240x240, Axial slice, Image width 240 mm, 1.00 mm slice spacing
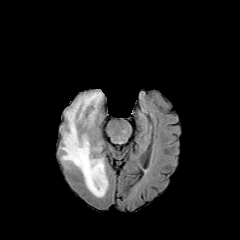
FLAIR MRI.
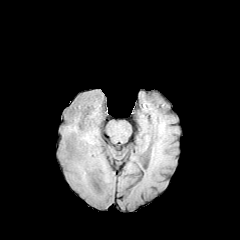
Same slice, T1-weighted magnetic resonance.
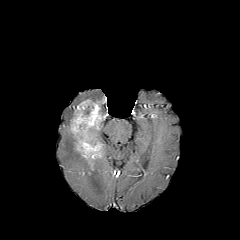
Post-contrast T1-weighted MR.
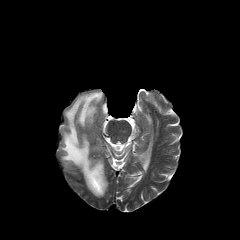
Same slice, T2-weighted magnetic resonance.
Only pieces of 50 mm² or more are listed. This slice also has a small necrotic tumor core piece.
enhancing_tumor:
  - (x1=71, y1=99, x2=102, y2=158)
peritumoral_edema:
  - (x1=59, y1=90, x2=108, y2=197)